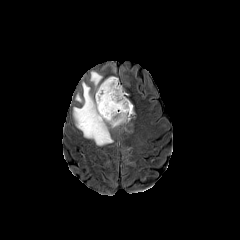
FLAIR MR.
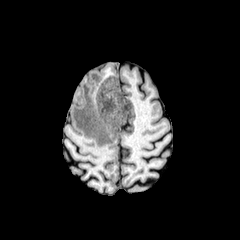
T1-weighted MR of the same slice.
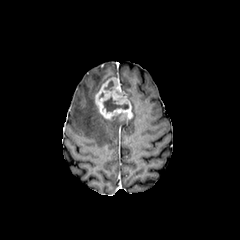
Same slice, post-contrast T1-weighted MRI.
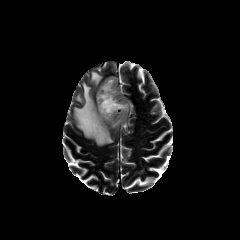
T2-weighted MRI.
Axial slice | Head
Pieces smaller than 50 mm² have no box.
enhancing tumor = box(95, 77, 132, 120)
necrotic tumor core = box(103, 97, 128, 111); box(104, 80, 113, 90)
peritumoral edema = box(90, 71, 102, 86); box(73, 82, 129, 145)